Axial slice | Head
FLAIR magnetic resonance.
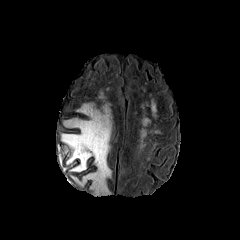
T1-weighted MR image.
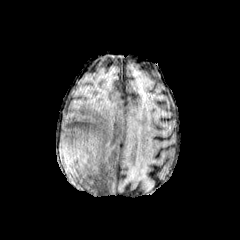
Post-contrast T1-weighted magnetic resonance.
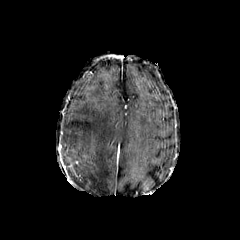
T2-weighted MRI.
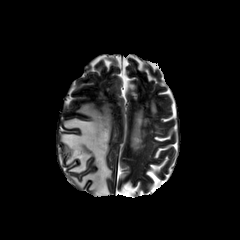
The peritumoral edema appears at 62,104,111,194.